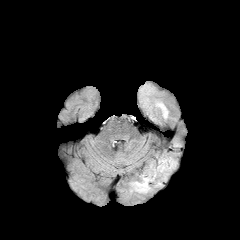
FLAIR MRI.
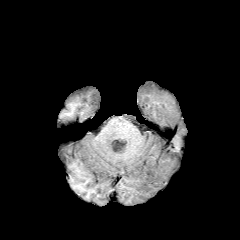
T1-weighted MR image.
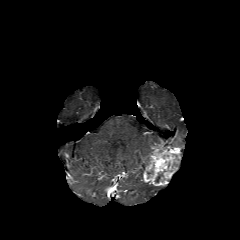
Post-contrast T1-weighted MR image of the same slice.
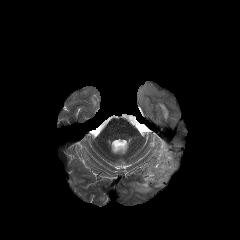
T2-weighted MR image of the same slice.
Axial slice; Image size 240x240
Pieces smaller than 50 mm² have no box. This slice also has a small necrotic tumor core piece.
peritumoral edema = region(156, 102, 168, 119); region(131, 181, 151, 193)
enhancing tumor = region(142, 144, 180, 186)